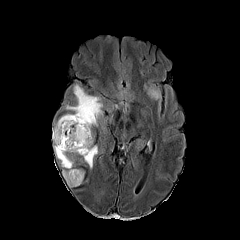
FLAIR MR image.
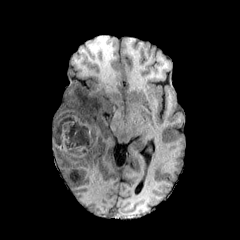
T1-weighted MR image.
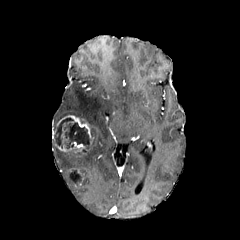
Same slice, post-contrast T1-weighted MR image.
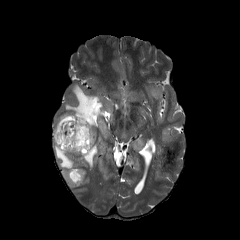
T2-weighted MR image.
Axial slice, Image size 240x240
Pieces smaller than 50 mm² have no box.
The 2 largest necrotic tumor core regions are bounded by (72, 169, 81, 184), (54, 118, 93, 152). The 2 largest enhancing tumor regions are located at (56, 115, 93, 144), (56, 142, 86, 152). The 4 largest peritumoral edema regions are located at (66, 84, 102, 131), (145, 87, 161, 104), (77, 145, 98, 168), (53, 139, 78, 187).